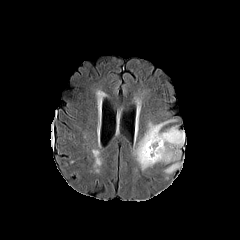
FLAIR MRI.
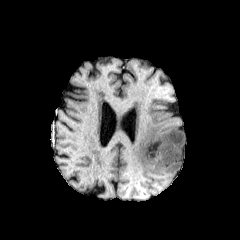
T1-weighted MR of the same slice.
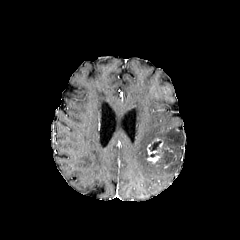
Post-contrast T1-weighted MR of the same slice.
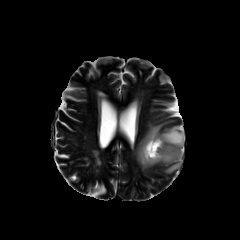
T2-weighted MR of the same slice.
Brain
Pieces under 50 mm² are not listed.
<segmentation>
  <necrotic_tumor_core>box(149, 141, 160, 151)</necrotic_tumor_core>
  <enhancing_tumor>box(153, 138, 163, 147); box(147, 143, 162, 162)</enhancing_tumor>
  <peritumoral_edema>box(133, 120, 184, 170); box(164, 162, 181, 173)</peritumoral_edema>
</segmentation>